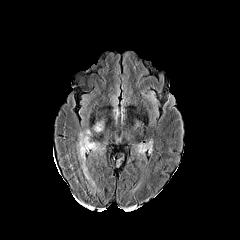
FLAIR magnetic resonance.
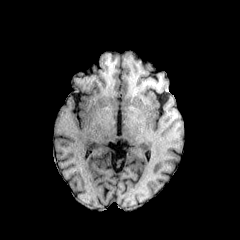
T1-weighted MR image.
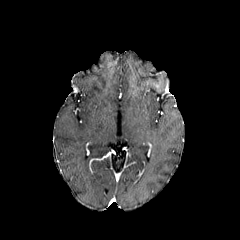
Post-contrast T1-weighted MRI of the same slice.
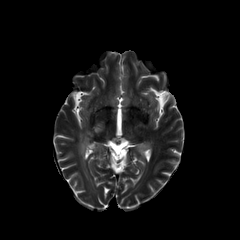
T2-weighted MR of the same slice.
240x240
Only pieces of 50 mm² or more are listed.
peritumoral edema — <bbox>138, 143, 147, 153</bbox>, <bbox>78, 130, 100, 175</bbox>